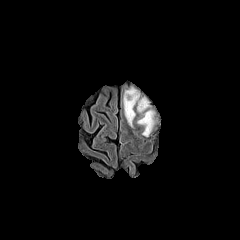
FLAIR MR.
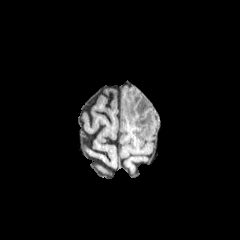
T1-weighted magnetic resonance.
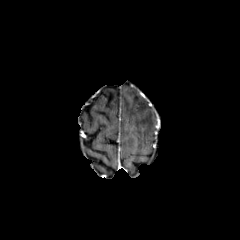
Post-contrast T1-weighted magnetic resonance.
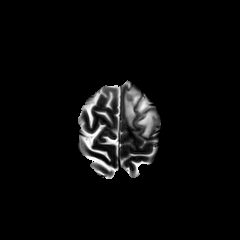
Same slice, T2-weighted MRI.
Head.
Annotated regions:
- peritumoral edema: 137 110 154 136, 123 88 148 127